Head; 240x240
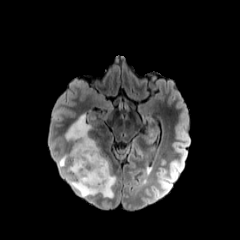
FLAIR MRI.
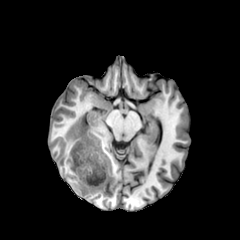
T1-weighted MR of the same slice.
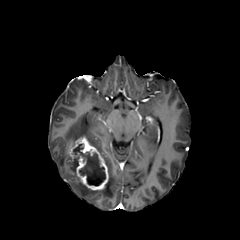
Post-contrast T1-weighted magnetic resonance of the same slice.
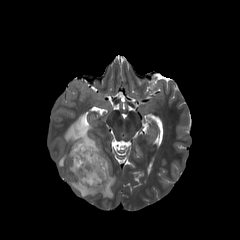
T2-weighted magnetic resonance.
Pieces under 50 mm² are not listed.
peritumoral edema: bbox=[58, 153, 70, 167]; bbox=[64, 113, 116, 198] | necrotic tumor core: bbox=[73, 144, 105, 186] | enhancing tumor: bbox=[69, 136, 108, 190]